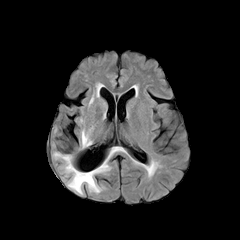
FLAIR MRI.
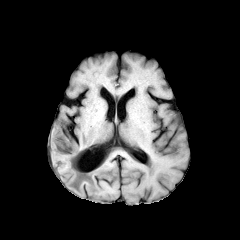
Same slice, T1-weighted MRI.
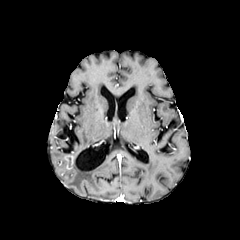
Same slice, post-contrast T1-weighted magnetic resonance.
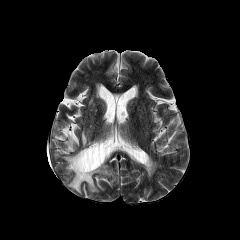
T2-weighted MR.
Brain, 240x240, Axial view
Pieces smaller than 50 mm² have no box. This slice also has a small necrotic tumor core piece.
peritumoral edema — x1=81 y1=129 x2=92 y2=148, x1=63 y1=147 x2=121 y2=192, x1=53 y1=153 x2=65 y2=161
enhancing tumor — x1=63 y1=155 x2=75 y2=169